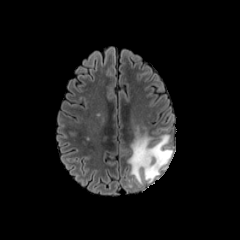
FLAIR MR.
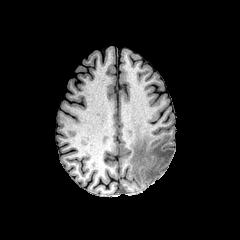
T1-weighted magnetic resonance.
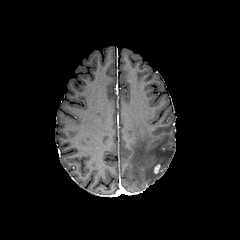
Same slice, post-contrast T1-weighted MR image.
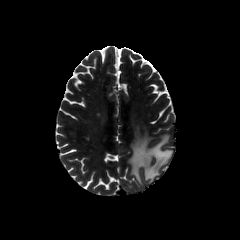
T2-weighted MRI.
240x240; Axial plane
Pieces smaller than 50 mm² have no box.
<segmentation>
  <enhancing_tumor>x1=154, y1=164, x2=160, y2=173</enhancing_tumor>
  <peritumoral_edema>x1=127, y1=126, x2=173, y2=185</peritumoral_edema>
</segmentation>